FLAIR magnetic resonance.
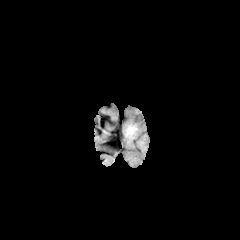
T1-weighted MR.
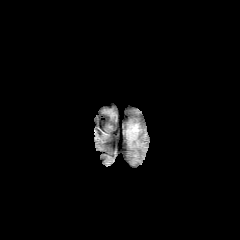
Post-contrast T1-weighted magnetic resonance.
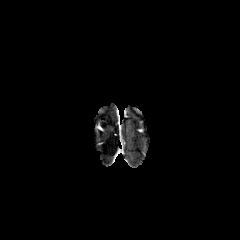
T2-weighted MR.
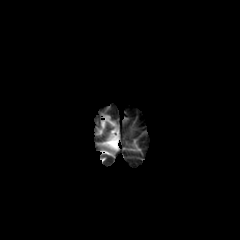
Head
The peritumoral edema is bounded by x1=127 y1=126 x2=135 y2=137.